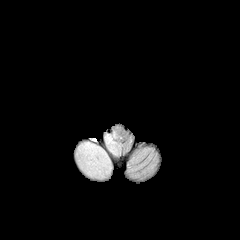
FLAIR magnetic resonance.
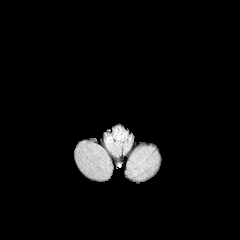
T1-weighted MR.
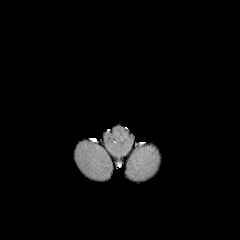
Post-contrast T1-weighted magnetic resonance.
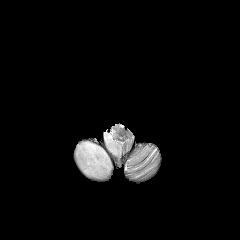
T2-weighted MRI.
Axial plane
peritumoral edema: bounding box 75:141:112:178, 104:130:123:155